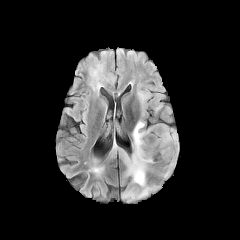
FLAIR MR image.
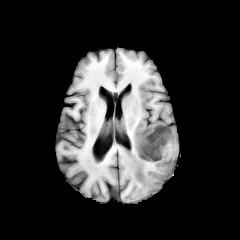
T1-weighted magnetic resonance.
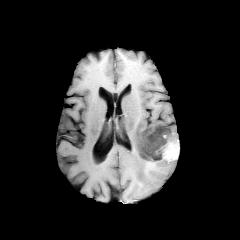
Post-contrast T1-weighted magnetic resonance.
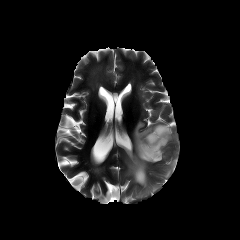
T2-weighted MR.
240x240 px; Brain
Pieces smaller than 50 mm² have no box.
enhancing tumor: (left=139, top=126, right=178, bottom=160)
necrotic tumor core: (left=141, top=127, right=170, bottom=159)
peritumoral edema: (left=170, top=128, right=178, bottom=148), (left=163, top=159, right=175, bottom=177), (left=123, top=120, right=168, bottom=197)